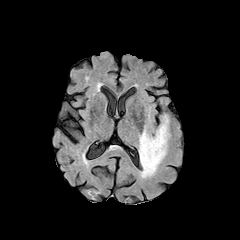
FLAIR MR image.
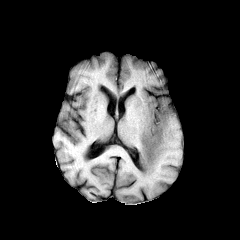
T1-weighted MRI of the same slice.
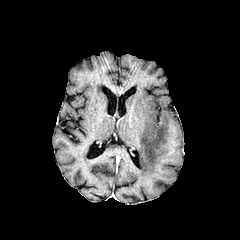
Same slice, post-contrast T1-weighted MR image.
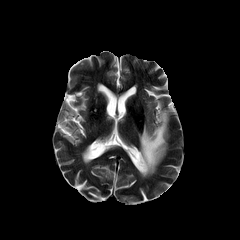
T2-weighted MR image.
peritumoral edema = {"x1": 139, "y1": 113, "x2": 169, "y2": 178}